FLAIR magnetic resonance.
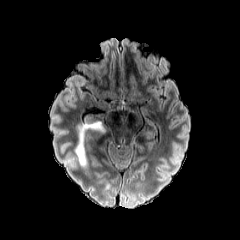
T1-weighted MR.
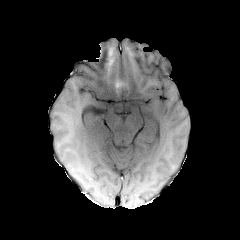
Post-contrast T1-weighted magnetic resonance.
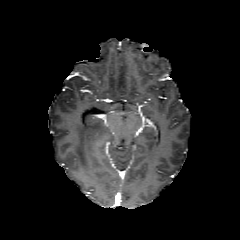
T2-weighted MR image.
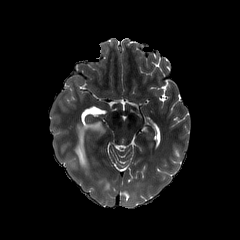
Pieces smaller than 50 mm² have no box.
The largest peritumoral edema region lies within bbox(75, 121, 104, 168).